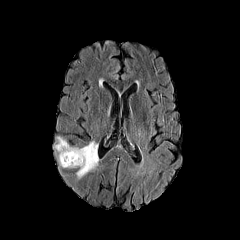
FLAIR magnetic resonance.
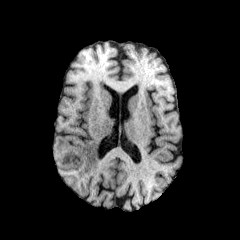
T1-weighted MR of the same slice.
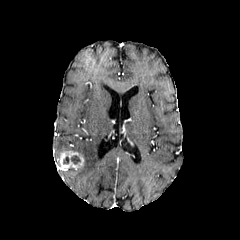
Post-contrast T1-weighted MR of the same slice.
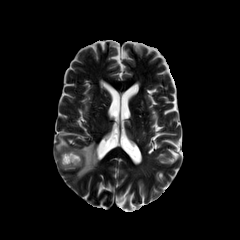
T2-weighted MR image.
Axial plane
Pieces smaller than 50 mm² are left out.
enhancing tumor — 58, 150, 84, 168
peritumoral edema — 55, 137, 97, 178
necrotic tumor core — 71, 155, 80, 164